Image width 240 mm. Axial slice. Head.
FLAIR MRI.
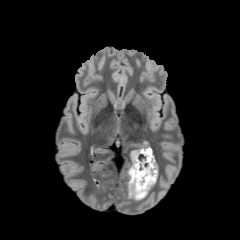
T1-weighted MRI.
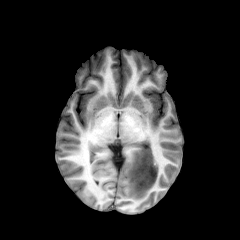
Post-contrast T1-weighted MR.
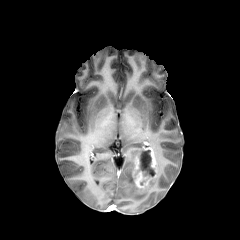
T2-weighted MR.
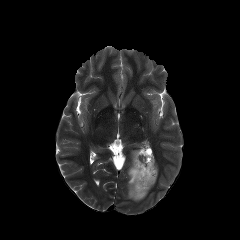
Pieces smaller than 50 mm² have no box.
{"enhancing_tumor": ["left=132, top=147, right=157, bottom=192"], "necrotic_tumor_core": ["left=138, top=150, right=155, bottom=176"], "peritumoral_edema": ["left=128, top=149, right=156, bottom=200"]}